240x240 px, Slice 60/155, Axial plane
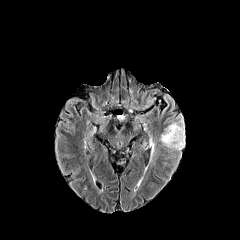
FLAIR magnetic resonance.
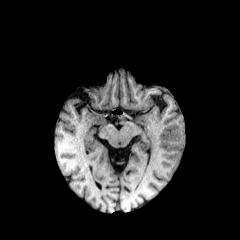
T1-weighted MR image.
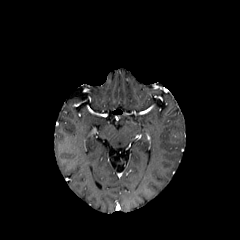
Post-contrast T1-weighted MR image.
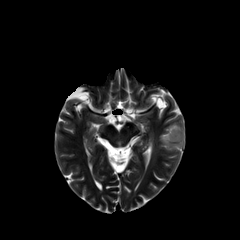
T2-weighted magnetic resonance.
Annotated regions:
* peritumoral edema: x1=160 y1=117 x2=185 y2=150
* enhancing tumor: x1=169 y1=131 x2=179 y2=141